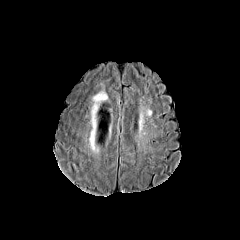
FLAIR MR.
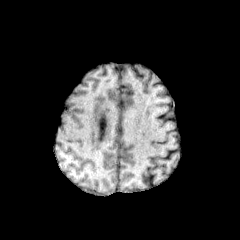
T1-weighted MRI.
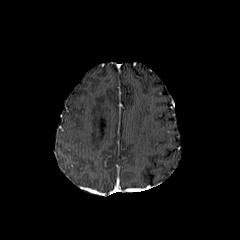
Same slice, post-contrast T1-weighted MR image.
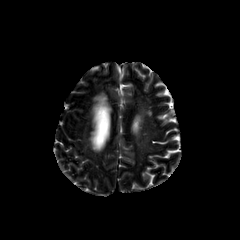
Same slice, T2-weighted MRI.
Head; Axial view
* peritumoral edema: (93, 92, 106, 106)